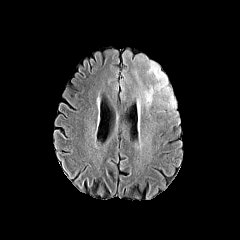
FLAIR magnetic resonance.
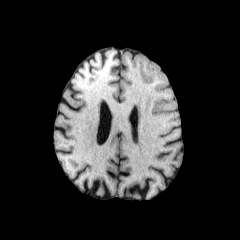
Same slice, T1-weighted MR.
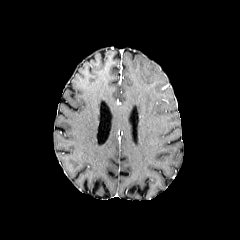
Post-contrast T1-weighted MR image.
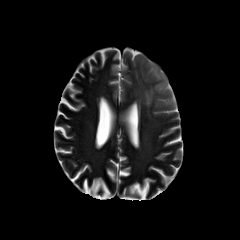
T2-weighted MR.
Axial slice, Brain
peritumoral edema — [143,60,175,108]